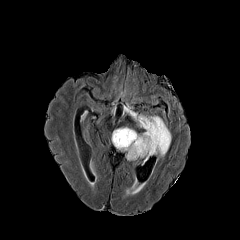
FLAIR MRI.
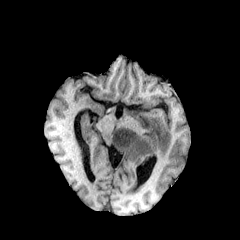
T1-weighted magnetic resonance.
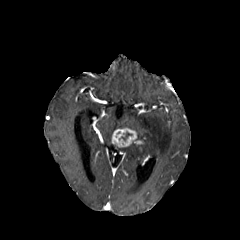
Post-contrast T1-weighted magnetic resonance.
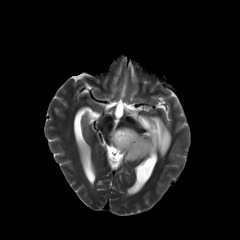
T2-weighted MR.
Image size 240x240
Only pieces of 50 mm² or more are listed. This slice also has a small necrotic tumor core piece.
{
  "enhancing_tumor": [
    "(x1=112, y1=127, x2=143, y2=147)"
  ],
  "peritumoral_edema": [
    "(x1=116, y1=113, x2=171, y2=160)"
  ]
}